Axial view. Head.
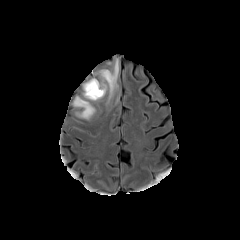
FLAIR MR image.
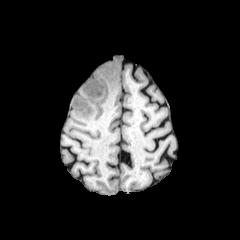
T1-weighted magnetic resonance.
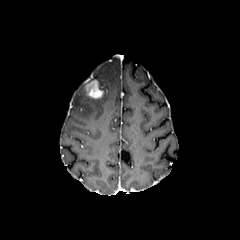
Post-contrast T1-weighted MR.
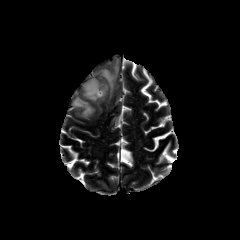
Same slice, T2-weighted magnetic resonance.
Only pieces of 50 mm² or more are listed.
The largest peritumoral edema region is located at left=72, top=58, right=119, bottom=119. The enhancing tumor appears at left=87, top=81, right=102, bottom=98.